240x240 px. Axial view.
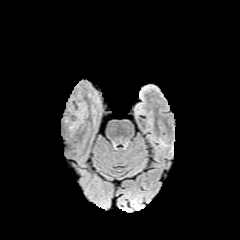
FLAIR magnetic resonance.
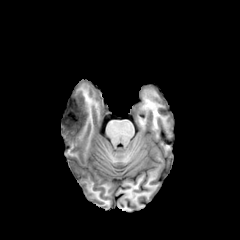
Same slice, T1-weighted MR.
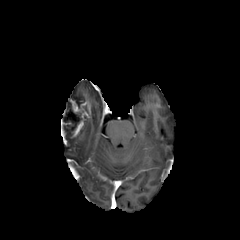
Post-contrast T1-weighted MRI.
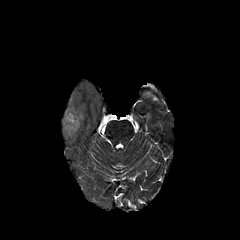
T2-weighted MR image.
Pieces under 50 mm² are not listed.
necrotic tumor core: bbox(63, 101, 81, 139) | peritumoral edema: bbox(71, 92, 85, 101) | enhancing tumor: bbox(61, 119, 71, 146); bbox(68, 99, 90, 139)